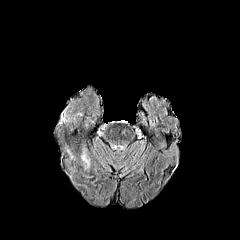
FLAIR magnetic resonance.
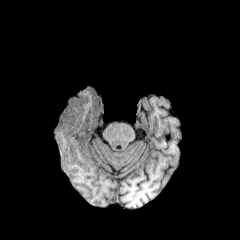
T1-weighted magnetic resonance.
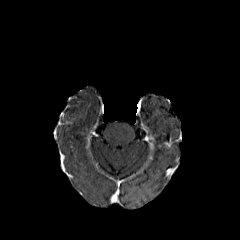
Same slice, post-contrast T1-weighted MR image.
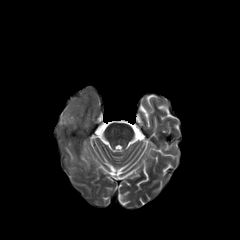
T2-weighted MR image.
Brain; Image size 240x240
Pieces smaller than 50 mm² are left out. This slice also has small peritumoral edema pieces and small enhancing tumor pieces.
necrotic tumor core at (x1=61, y1=112, x2=76, y2=125)